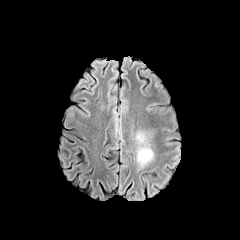
FLAIR MR.
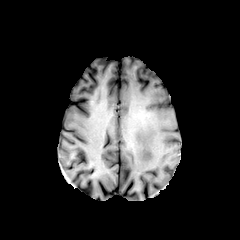
T1-weighted MRI.
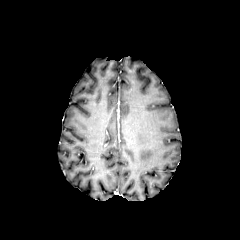
Post-contrast T1-weighted MRI.
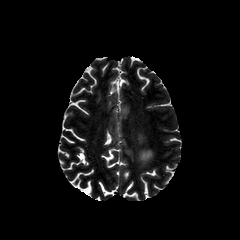
T2-weighted MR image.
Axial view; 240x240 px; Brain
2 peritumoral edema regions are located at x1=137 y1=148 x2=153 y2=165, x1=137 y1=133 x2=144 y2=142.